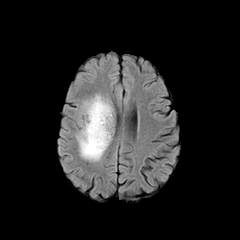
FLAIR MR.
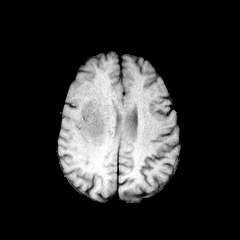
Same slice, T1-weighted MR.
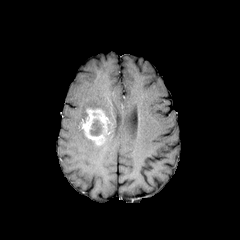
Same slice, post-contrast T1-weighted MR.
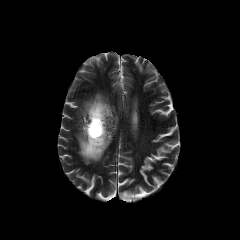
T2-weighted MR image of the same slice.
240x240 | Brain
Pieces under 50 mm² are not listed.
necrotic tumor core = rect(90, 120, 101, 135)
enhancing tumor = rect(82, 108, 109, 145)
peritumoral edema = rect(76, 94, 112, 160)